FLAIR MRI.
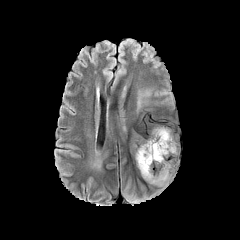
T1-weighted MR image.
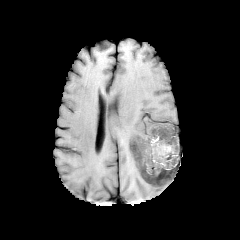
Post-contrast T1-weighted MRI.
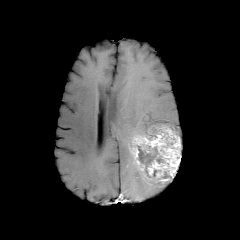
T2-weighted MR image.
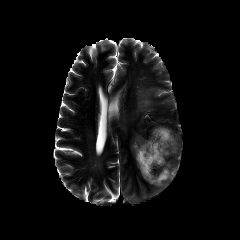
240x240 px. Axial view.
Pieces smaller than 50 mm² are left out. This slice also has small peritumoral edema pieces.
necrotic_tumor_core:
  - (138,146,158,168)
enhancing_tumor:
  - (130,126,180,186)